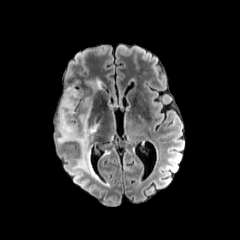
FLAIR MR.
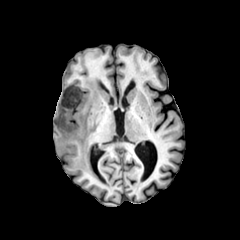
T1-weighted magnetic resonance of the same slice.
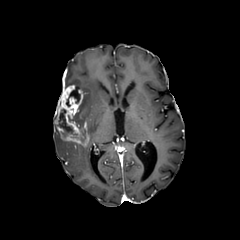
Same slice, post-contrast T1-weighted magnetic resonance.
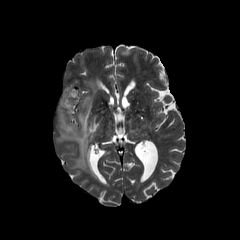
Same slice, T2-weighted MRI.
240x240 px. Axial slice. Brain.
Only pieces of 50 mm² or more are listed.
<segmentation>
  <enhancing_tumor>region(79, 110, 87, 120); region(55, 85, 89, 146)</enhancing_tumor>
  <peritumoral_edema>region(73, 143, 98, 179); region(88, 122, 98, 136); region(68, 97, 91, 128); region(89, 80, 103, 91)</peritumoral_edema>
  <necrotic_tumor_core>region(58, 109, 76, 136); region(69, 90, 80, 102)</necrotic_tumor_core>
</segmentation>